FLAIR MR.
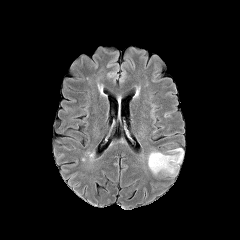
T1-weighted MRI.
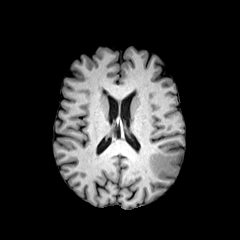
Post-contrast T1-weighted MR.
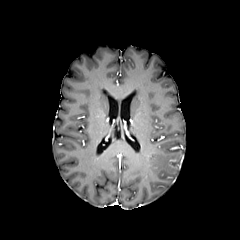
T2-weighted MR image.
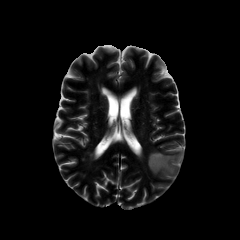
240x240. Brain.
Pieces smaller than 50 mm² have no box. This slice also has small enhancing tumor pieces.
The peritumoral edema is bounded by [x1=148, y1=148, x2=183, y2=176].